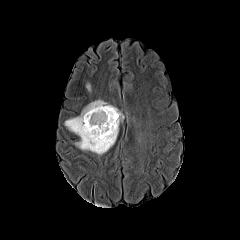
FLAIR magnetic resonance.
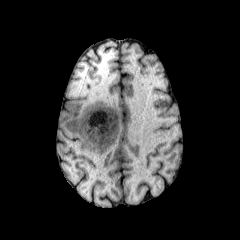
T1-weighted MR of the same slice.
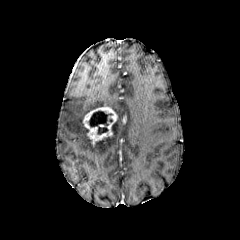
Post-contrast T1-weighted MR image of the same slice.
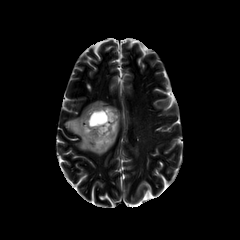
Same slice, T2-weighted magnetic resonance.
240x240 px; Axial plane
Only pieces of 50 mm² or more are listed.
{"necrotic_tumor_core": ["[x1=88, y1=110, x2=113, y2=134]"], "enhancing_tumor": ["[x1=83, y1=106, x2=117, y2=144]"], "peritumoral_edema": ["[x1=65, y1=100, x2=122, y2=155]"]}